Slice 48 of 155; Head
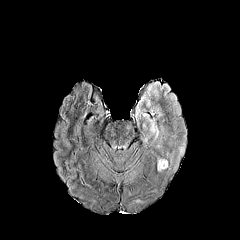
FLAIR magnetic resonance.
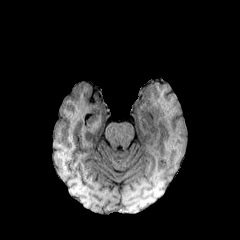
Same slice, T1-weighted magnetic resonance.
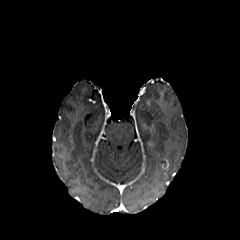
Post-contrast T1-weighted magnetic resonance.
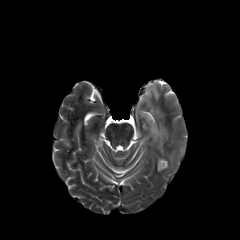
Same slice, T2-weighted MR image.
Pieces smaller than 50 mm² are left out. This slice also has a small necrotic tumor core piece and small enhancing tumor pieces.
peritumoral_edema:
  - region(151, 106, 162, 116)
  - region(143, 85, 157, 107)
  - region(157, 157, 164, 171)
  - region(149, 119, 159, 140)
  - region(179, 143, 185, 155)